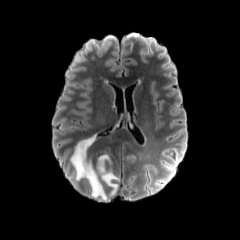
FLAIR MR.
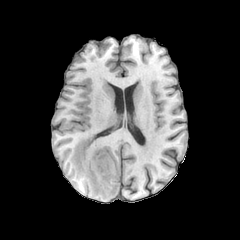
T1-weighted MRI.
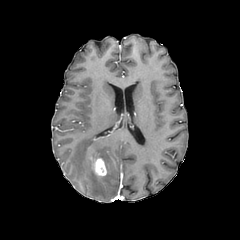
Post-contrast T1-weighted magnetic resonance.
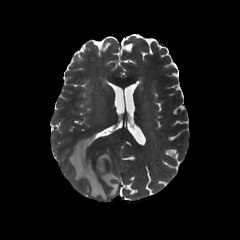
T2-weighted magnetic resonance.
Axial plane; Brain
- peritumoral edema: [70, 136, 117, 200]
- enhancing tumor: [93, 158, 106, 176]